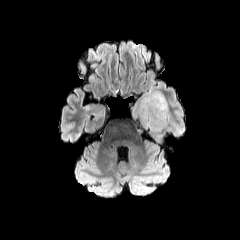
FLAIR MR.
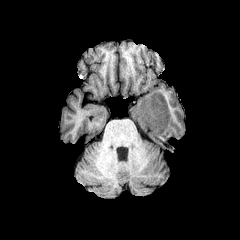
T1-weighted magnetic resonance.
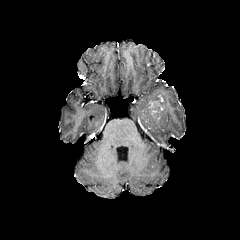
Same slice, post-contrast T1-weighted MRI.
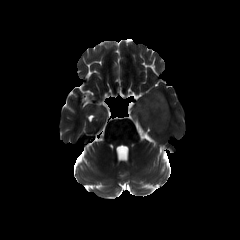
Same slice, T2-weighted magnetic resonance.
Axial plane.
enhancing tumor — 148:95:164:112
peritumoral edema — 135:90:169:131